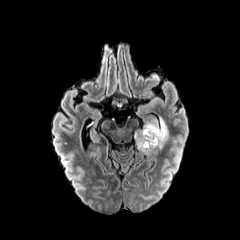
FLAIR MR image.
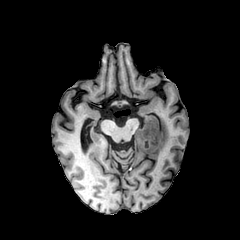
T1-weighted magnetic resonance.
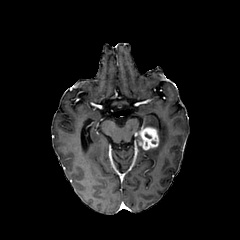
Post-contrast T1-weighted magnetic resonance.
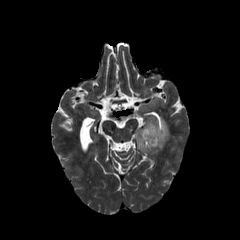
Same slice, T2-weighted MR image.
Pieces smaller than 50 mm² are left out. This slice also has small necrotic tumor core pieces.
enhancing tumor: bounding box region(134, 126, 159, 150)
peritumoral edema: bounding box region(136, 117, 168, 153)